FLAIR MR.
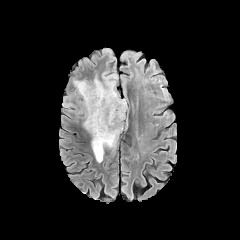
T1-weighted MR image.
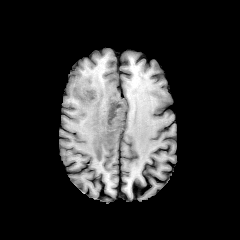
Post-contrast T1-weighted magnetic resonance.
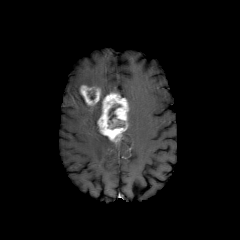
T2-weighted MR.
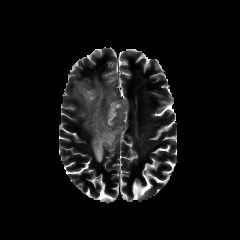
Axial view
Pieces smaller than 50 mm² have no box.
Findings:
* enhancing tumor: [79,85,101,110], [97,91,129,144]
* peritumoral edema: [74,81,88,93], [83,78,115,162]
* necrotic tumor core: [107,103,124,128]